Axial plane, Image width 240 mm, Head, 240x240
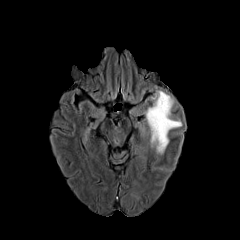
FLAIR MRI.
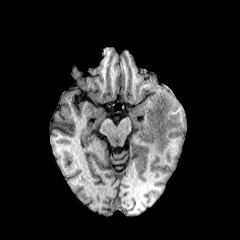
T1-weighted MR.
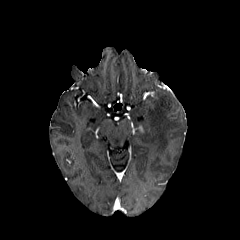
Post-contrast T1-weighted MRI.
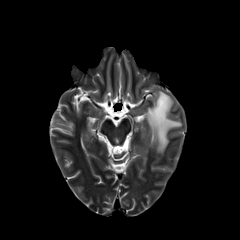
T2-weighted MR image.
peritumoral edema: 144:90:181:154